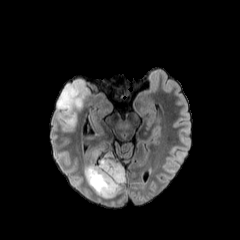
FLAIR MR image.
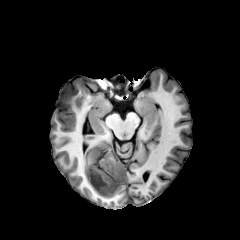
Same slice, T1-weighted MR image.
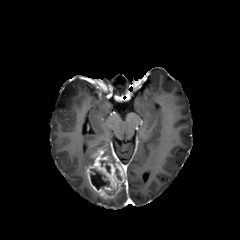
Same slice, post-contrast T1-weighted magnetic resonance.
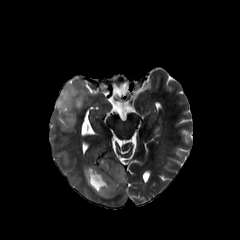
T2-weighted magnetic resonance.
Brain
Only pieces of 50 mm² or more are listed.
<segmentation>
  <necrotic_tumor_core>(90,169,109,189), (100,160,110,173)</necrotic_tumor_core>
  <enhancing_tumor>(85,148,126,198)</enhancing_tumor>
  <peritumoral_edema>(57,79,88,124), (85,146,104,166)</peritumoral_edema>
</segmentation>